Slice 94/155
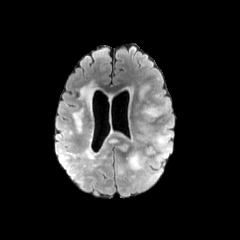
FLAIR MR image.
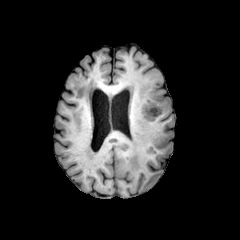
T1-weighted magnetic resonance.
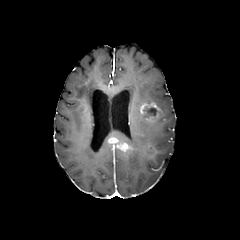
Post-contrast T1-weighted MRI.
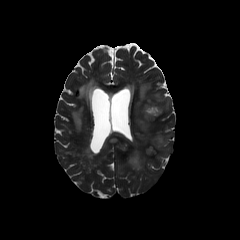
T2-weighted MR image of the same slice.
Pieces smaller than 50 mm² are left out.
necrotic tumor core = region(144, 107, 157, 117)
enhancing tumor = region(140, 102, 161, 121); region(109, 138, 129, 151)
peritumoral edema = region(145, 147, 154, 154); region(159, 99, 170, 115); region(138, 111, 170, 145); region(128, 152, 144, 170)